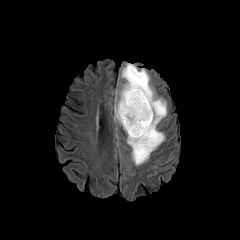
FLAIR MR.
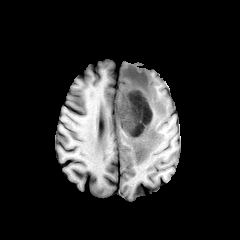
T1-weighted magnetic resonance.
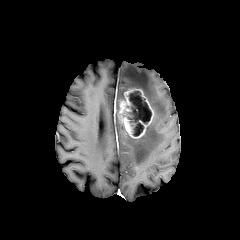
Same slice, post-contrast T1-weighted MRI.
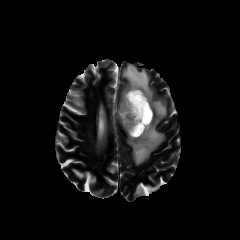
T2-weighted MR.
Head
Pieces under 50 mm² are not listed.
• peritumoral edema: x1=117, y1=63, x2=167, y2=165
• enhancing tumor: x1=117, y1=88, x2=154, y2=138
• necrotic tumor core: x1=127, y1=91, x2=151, y2=136